FLAIR magnetic resonance.
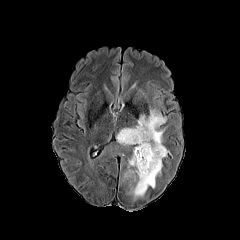
T1-weighted magnetic resonance.
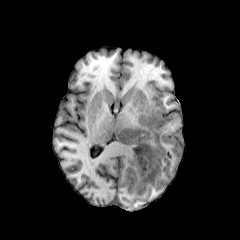
Post-contrast T1-weighted magnetic resonance.
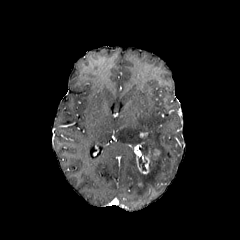
T2-weighted MR.
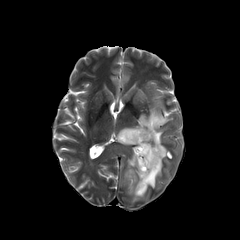
Axial slice; Image size 240x240; Head
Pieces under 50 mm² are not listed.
Findings:
• enhancing tumor: l=153, t=149, r=160, b=160; l=134, t=142, r=150, b=174
• necrotic tumor core: l=139, t=144, r=149, b=170
• peritumoral edema: l=108, t=107, r=168, b=201